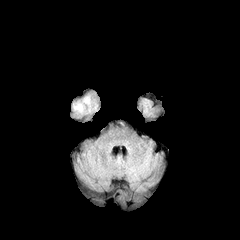
FLAIR MRI.
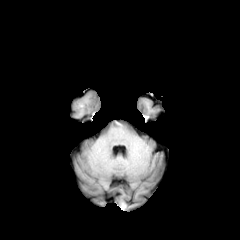
T1-weighted MR image of the same slice.
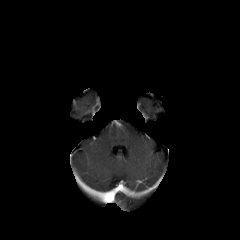
Post-contrast T1-weighted MRI.
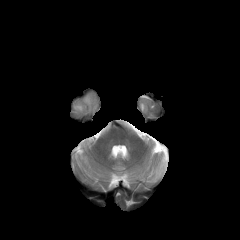
T2-weighted magnetic resonance.
Head, Axial plane
peritumoral edema = l=83, t=96, r=92, b=109; l=74, t=102, r=84, b=112